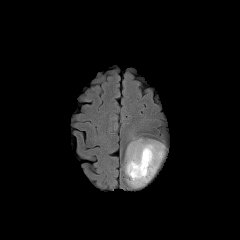
FLAIR MR.
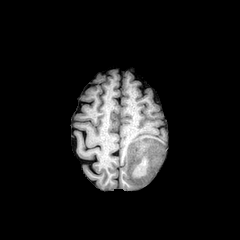
T1-weighted MRI of the same slice.
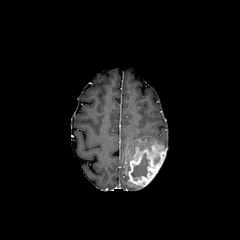
Post-contrast T1-weighted magnetic resonance.
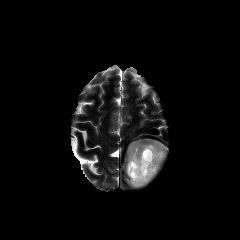
T2-weighted MR of the same slice.
240x240, Axial slice
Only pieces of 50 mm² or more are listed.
The largest peritumoral edema region is located at (left=124, top=139, right=161, bottom=171). The largest necrotic tumor core region lies within (left=131, top=154, right=148, bottom=177). The enhancing tumor lies within (left=125, top=142, right=166, bottom=186).